Image covers 240 mm x 240 mm, Axial plane
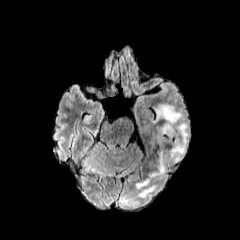
FLAIR MR image.
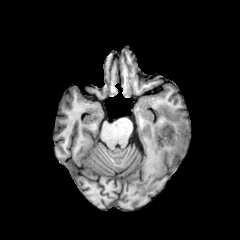
T1-weighted MRI.
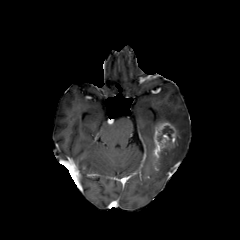
Post-contrast T1-weighted magnetic resonance.
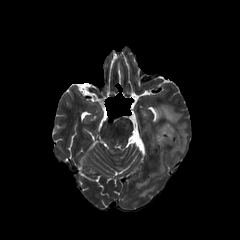
T2-weighted MRI.
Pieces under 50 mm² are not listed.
enhancing tumor: 153, 121, 177, 164
necrotic tumor core: 163, 126, 172, 141
peritumoral edema: 139, 185, 155, 196; 152, 149, 165, 176; 155, 104, 189, 161; 136, 179, 149, 188